FLAIR MRI.
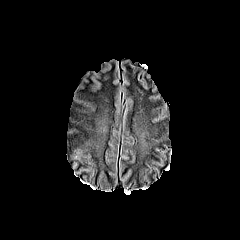
T1-weighted MRI.
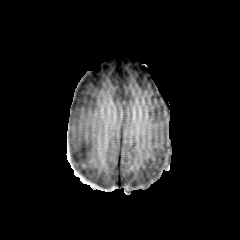
Post-contrast T1-weighted MRI.
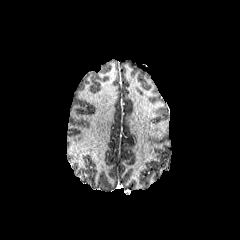
T2-weighted MR image.
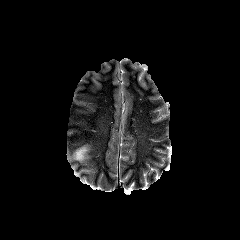
{"peritumoral_edema": ["74, 148, 86, 160"]}